FLAIR magnetic resonance.
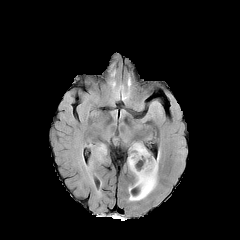
T1-weighted MR.
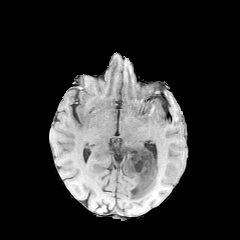
Post-contrast T1-weighted magnetic resonance.
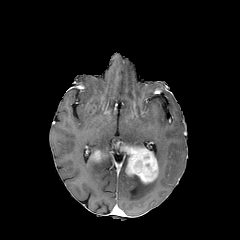
T2-weighted MRI.
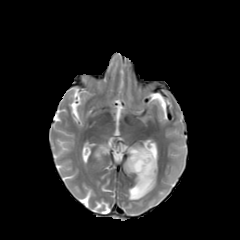
Axial view.
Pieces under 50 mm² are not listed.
{
  "enhancing_tumor": [
    "92, 150, 107, 161",
    "122, 145, 158, 183"
  ],
  "peritumoral_edema": [
    "129, 175, 156, 200",
    "96, 144, 107, 153"
  ]
}